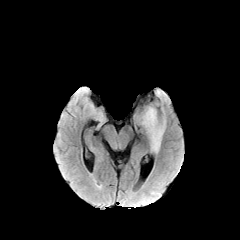
FLAIR MR.
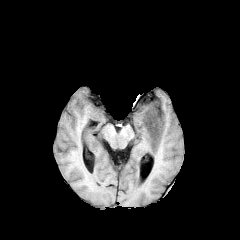
T1-weighted MR image of the same slice.
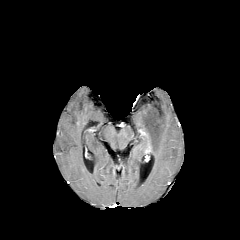
Post-contrast T1-weighted MR of the same slice.
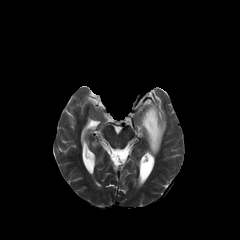
T2-weighted MRI.
Brain
The peritumoral edema appears at 141:106:165:152.